FLAIR MR image.
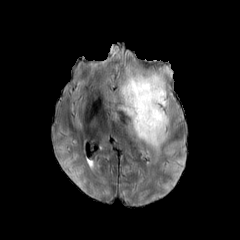
T1-weighted MR.
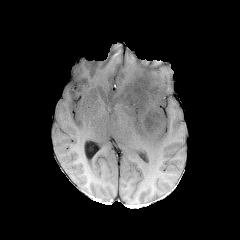
Post-contrast T1-weighted MR.
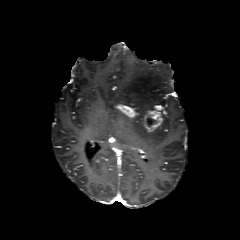
T2-weighted MR.
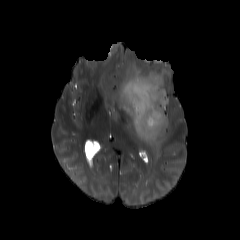
Brain, Axial slice
{"enhancing_tumor": ["143, 109, 164, 132", "118, 105, 138, 118"], "peritumoral_edema": ["115, 67, 170, 150"], "necrotic_tumor_core": ["146, 117, 155, 126"]}